FLAIR magnetic resonance.
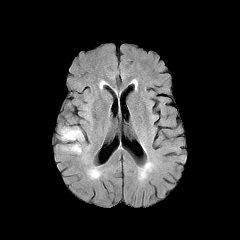
T1-weighted MRI.
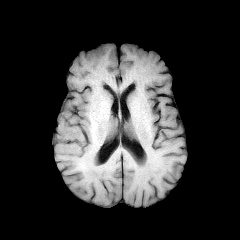
Post-contrast T1-weighted magnetic resonance.
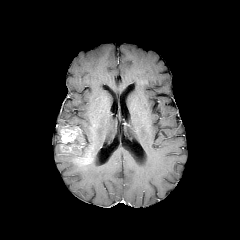
T2-weighted MR.
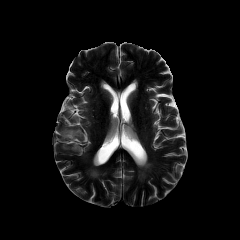
Head
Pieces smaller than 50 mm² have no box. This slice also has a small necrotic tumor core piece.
peritumoral edema = rect(71, 133, 89, 154); rect(82, 154, 90, 163)
enhancing tumor = rect(61, 127, 81, 147)